Brain
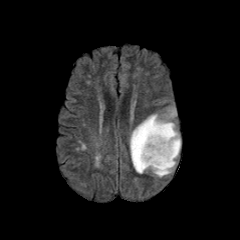
FLAIR MR.
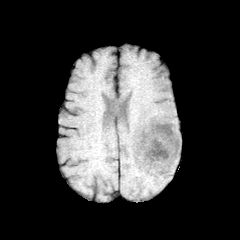
T1-weighted magnetic resonance of the same slice.
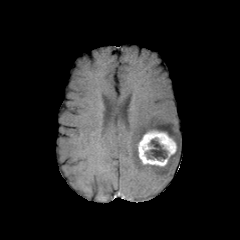
Same slice, post-contrast T1-weighted MR.
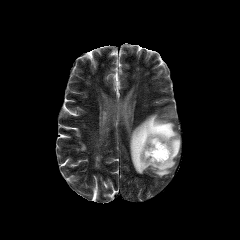
T2-weighted MR.
Findings:
• necrotic tumor core: <bbox>146, 139, 167, 159</bbox>
• peritumoral edema: <bbox>129, 109, 180, 177</bbox>
• enhancing tumor: <bbox>137, 130, 177, 166</bbox>